Slice 66 of 155, Image size 240x240, Axial view
FLAIR MR.
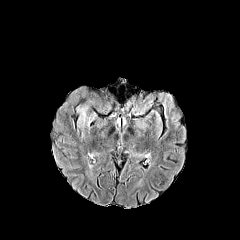
T1-weighted magnetic resonance.
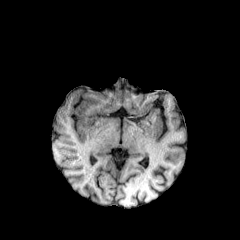
Post-contrast T1-weighted MR image.
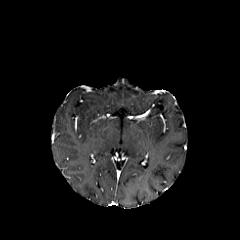
T2-weighted MR image.
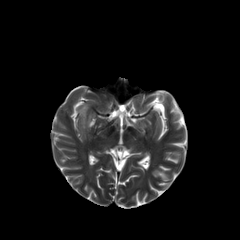
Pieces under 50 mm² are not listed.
<segmentation>
  <peritumoral_edema>x1=80 y1=107 x2=86 y2=123</peritumoral_edema>
</segmentation>